240x240 px, Axial view, Image width 240 mm, 1.00 mm slice spacing
FLAIR MR.
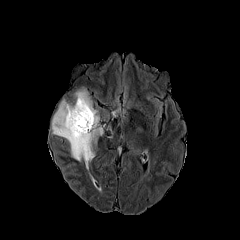
T1-weighted magnetic resonance.
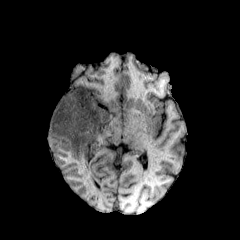
Post-contrast T1-weighted magnetic resonance.
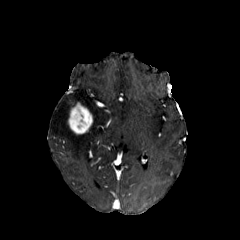
T2-weighted magnetic resonance.
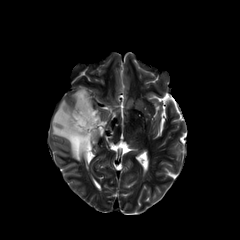
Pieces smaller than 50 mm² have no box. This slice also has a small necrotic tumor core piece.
enhancing tumor at rect(67, 102, 93, 134)
peritumoral edema at rect(51, 89, 103, 170)